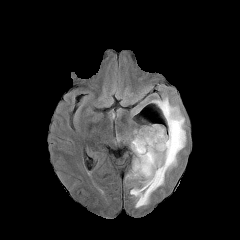
FLAIR MR.
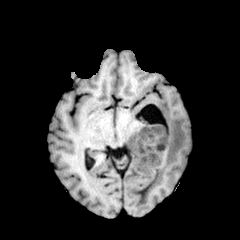
Same slice, T1-weighted MRI.
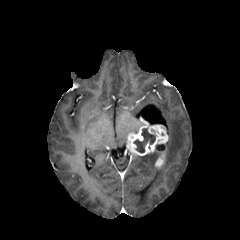
Same slice, post-contrast T1-weighted MR.
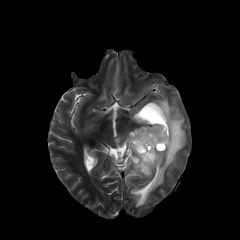
T2-weighted MR.
240x240. Brain.
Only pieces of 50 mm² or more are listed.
The largest necrotic tumor core region is at 134, 128, 155, 152. 2 enhancing tumor regions are located at 155, 151, 164, 167; 127, 124, 168, 156. The largest peritumoral edema region appears at 126, 97, 186, 207.